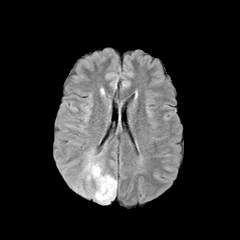
FLAIR MR.
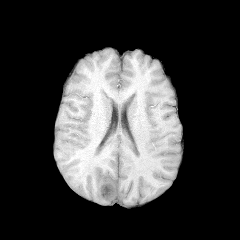
T1-weighted MRI.
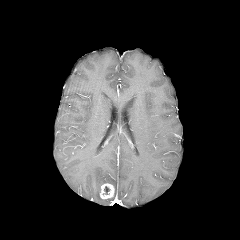
Post-contrast T1-weighted MR of the same slice.
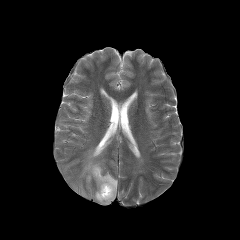
T2-weighted magnetic resonance.
Axial slice. Head.
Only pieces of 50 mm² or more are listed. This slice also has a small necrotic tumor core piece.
Annotated regions:
* peritumoral edema: region(71, 148, 117, 204)
* enhancing tumor: region(100, 183, 114, 199)